Head.
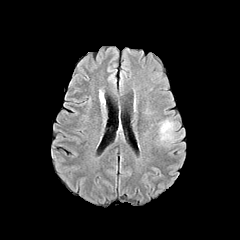
FLAIR MRI.
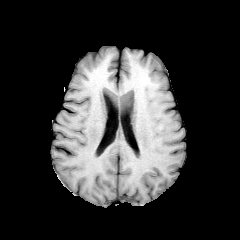
T1-weighted MR image.
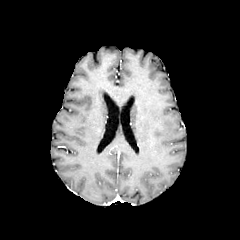
Same slice, post-contrast T1-weighted MRI.
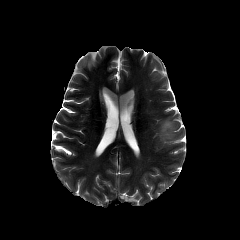
T2-weighted MRI.
The peritumoral edema lies within <bbox>160, 119, 174, 139</bbox>.